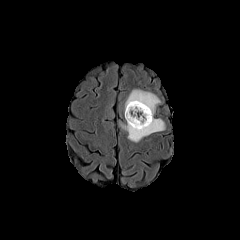
FLAIR MR.
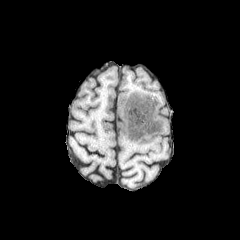
T1-weighted magnetic resonance.
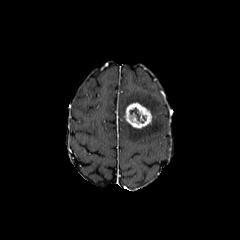
Post-contrast T1-weighted magnetic resonance of the same slice.
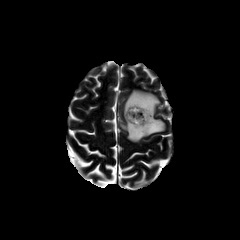
T2-weighted MR image.
Head
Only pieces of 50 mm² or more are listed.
enhancing tumor: bbox=[124, 102, 152, 128]
peritumoral edema: bbox=[120, 89, 165, 142]
necrotic tumor core: bbox=[130, 108, 139, 120]